FLAIR MR.
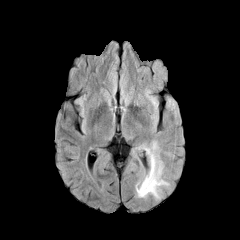
T1-weighted MRI.
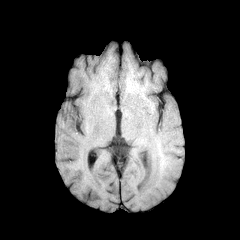
Post-contrast T1-weighted magnetic resonance.
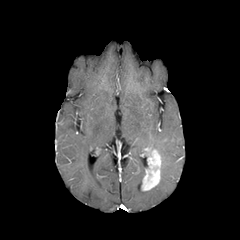
T2-weighted MRI.
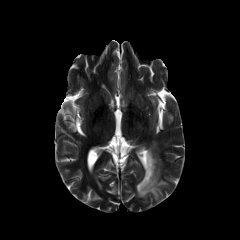
Image size 240x240; Brain
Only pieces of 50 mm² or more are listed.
The 2 largest peritumoral edema regions appear at l=136, t=178, r=168, b=198; l=139, t=141, r=159, b=156. The enhancing tumor is bounded by l=141, t=148, r=161, b=190.